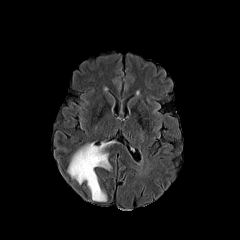
FLAIR MRI.
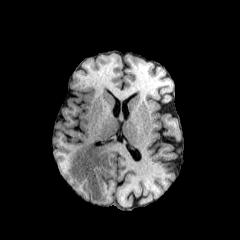
T1-weighted MR of the same slice.
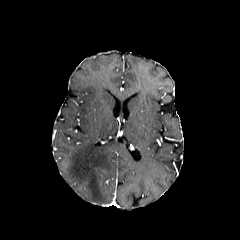
Post-contrast T1-weighted magnetic resonance.
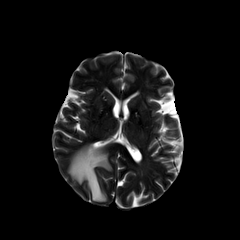
T2-weighted magnetic resonance.
Brain
{"peritumoral_edema": ["(68, 143, 111, 201)"]}